Brain, Axial slice
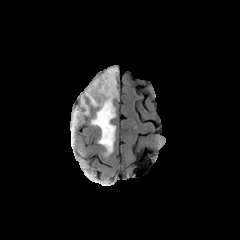
FLAIR MRI.
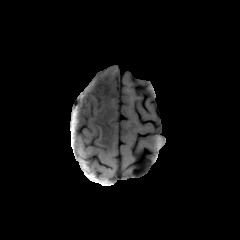
T1-weighted magnetic resonance of the same slice.
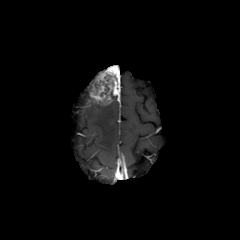
Post-contrast T1-weighted magnetic resonance of the same slice.
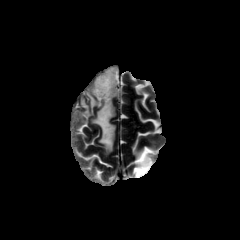
T2-weighted MR image of the same slice.
peritumoral edema = [73, 79, 116, 156]
enhancing tumor = [89, 65, 120, 105]